Axial view | 240x240 px
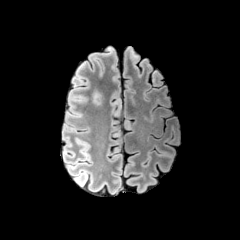
FLAIR MR image.
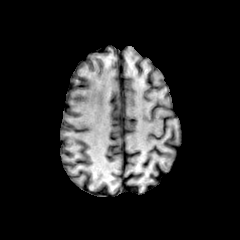
Same slice, T1-weighted magnetic resonance.
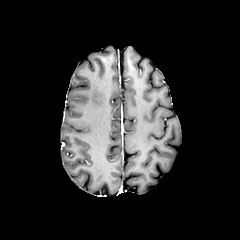
Same slice, post-contrast T1-weighted MR.
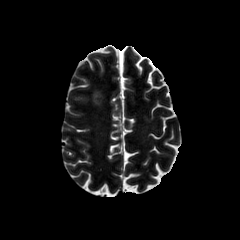
T2-weighted MRI of the same slice.
<segmentation>
  <peritumoral_edema>93, 91, 101, 104</peritumoral_edema>
</segmentation>